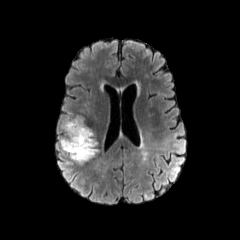
FLAIR magnetic resonance.
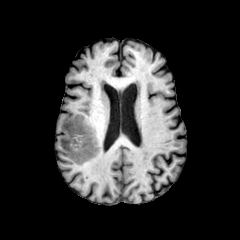
T1-weighted MRI of the same slice.
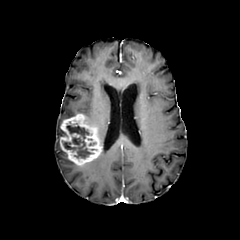
Same slice, post-contrast T1-weighted MR image.
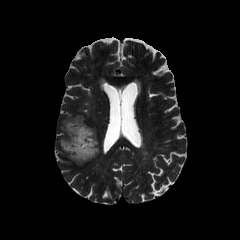
T2-weighted magnetic resonance of the same slice.
240x240; Brain
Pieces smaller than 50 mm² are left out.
enhancing tumor at 60 114 101 165
necrotic tumor core at 63 125 93 158